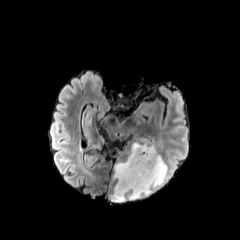
FLAIR magnetic resonance.
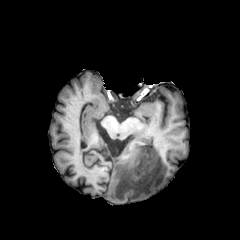
Same slice, T1-weighted magnetic resonance.
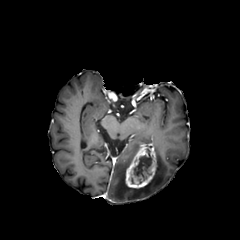
Post-contrast T1-weighted MRI of the same slice.
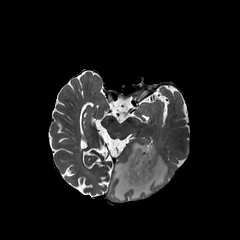
T2-weighted magnetic resonance.
Axial view
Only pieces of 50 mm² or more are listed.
enhancing tumor: box=[125, 143, 157, 188] | peritumoral edema: box=[110, 139, 167, 202] | necrotic tumor core: box=[130, 148, 152, 184]